Head. 240x240 px. Axial plane.
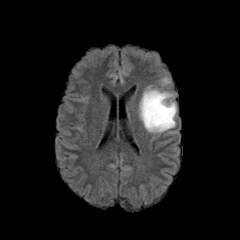
FLAIR MR.
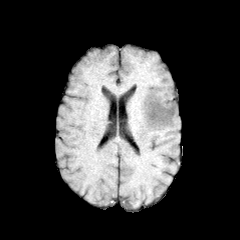
T1-weighted MR image.
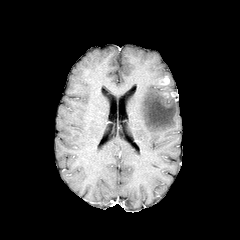
Same slice, post-contrast T1-weighted MRI.
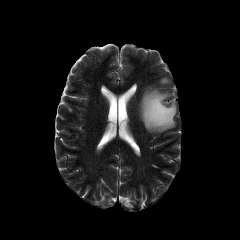
T2-weighted MR image.
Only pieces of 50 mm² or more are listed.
<segmentation>
  <peritumoral_edema>139, 87, 176, 133</peritumoral_edema>
  <enhancing_tumor>161, 77, 169, 84</enhancing_tumor>
</segmentation>